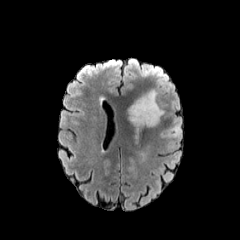
FLAIR MRI.
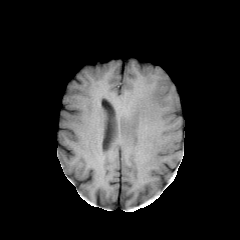
T1-weighted MR.
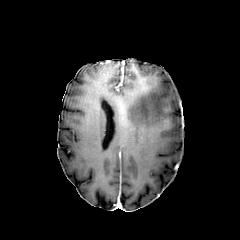
Same slice, post-contrast T1-weighted magnetic resonance.
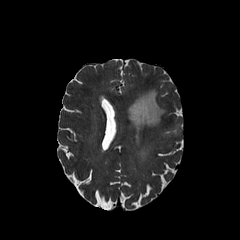
T2-weighted MR.
Head
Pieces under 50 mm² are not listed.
{
  "peritumoral_edema": [
    "region(129, 90, 164, 128)"
  ]
}